Head | Image covers 240 mm x 240 mm | Slice 60/155
FLAIR MR image.
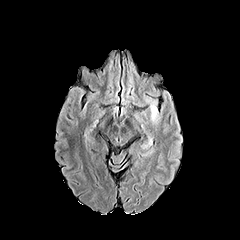
T1-weighted MR image.
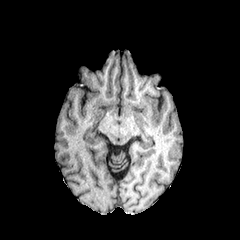
Post-contrast T1-weighted magnetic resonance.
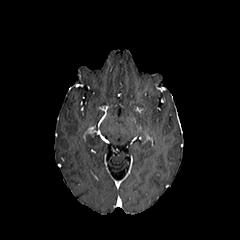
T2-weighted MRI.
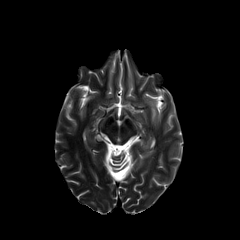
The peritumoral edema appears at [x1=150, y1=101, x2=157, y2=121].